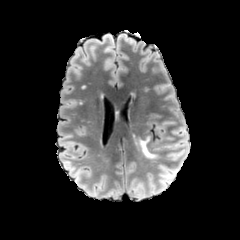
FLAIR magnetic resonance.
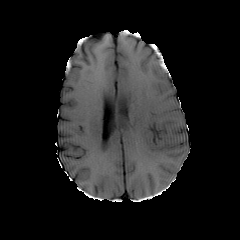
T1-weighted magnetic resonance.
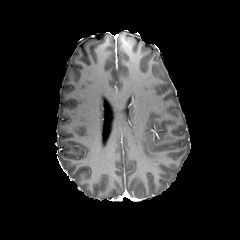
Post-contrast T1-weighted magnetic resonance.
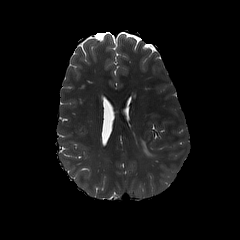
T2-weighted MR of the same slice.
Head. Axial slice.
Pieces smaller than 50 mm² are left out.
peritumoral edema = [136,135,159,159]